Axial plane | Slice 82 of 155
FLAIR MR.
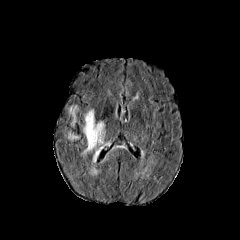
T1-weighted MRI.
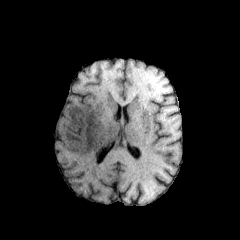
Post-contrast T1-weighted MR image.
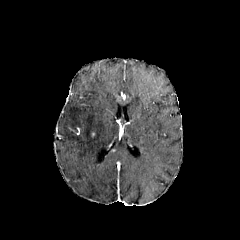
T2-weighted MRI.
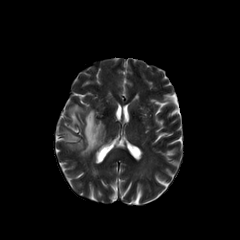
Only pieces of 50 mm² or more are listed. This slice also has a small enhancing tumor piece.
The 3 largest peritumoral edema regions are located at (left=69, top=105, right=78, bottom=127), (left=68, top=130, right=81, bottom=140), (left=81, top=107, right=111, bottom=175).